FLAIR MR.
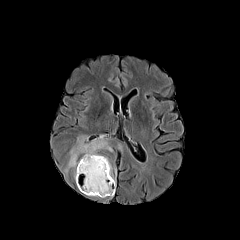
T1-weighted MR image.
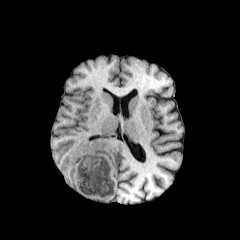
Post-contrast T1-weighted MR image.
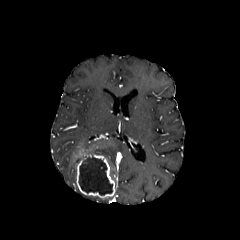
T2-weighted MR.
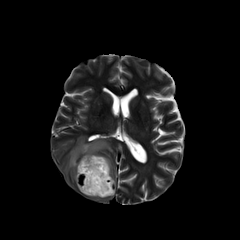
Axial slice; Image size 240x240; Brain
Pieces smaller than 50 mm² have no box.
Annotated regions:
• enhancing tumor: box=[76, 153, 115, 198]
• peritumoral edema: box=[63, 134, 114, 180]
• necrotic tumor core: box=[79, 155, 112, 194]